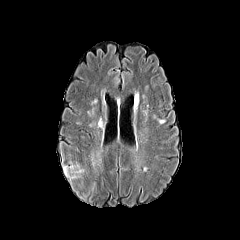
FLAIR MRI.
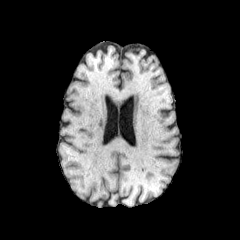
T1-weighted MRI.
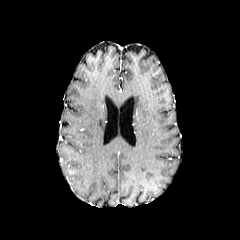
Post-contrast T1-weighted MRI of the same slice.
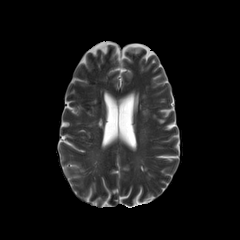
Same slice, T2-weighted magnetic resonance.
240x240; Head
peritumoral edema: 63,163,83,180